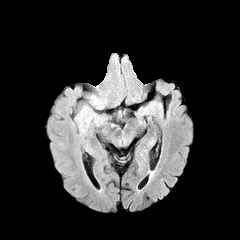
FLAIR MRI.
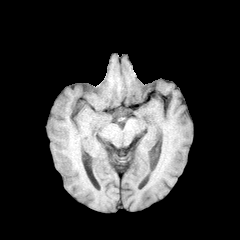
Same slice, T1-weighted MRI.
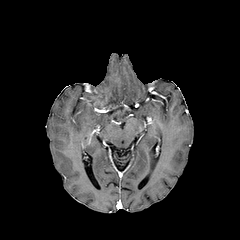
Post-contrast T1-weighted MR image of the same slice.
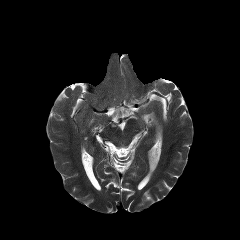
T2-weighted MRI of the same slice.
2 peritumoral edema regions are located at [89, 95, 106, 109], [75, 105, 102, 134].